FLAIR magnetic resonance.
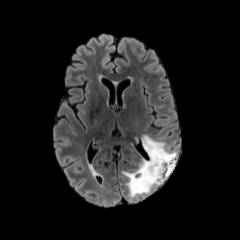
T1-weighted MRI.
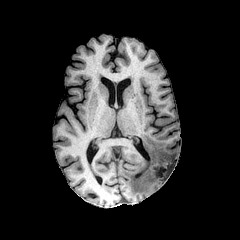
Post-contrast T1-weighted magnetic resonance.
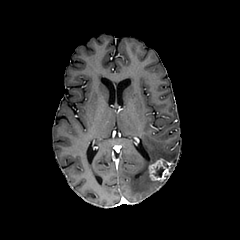
T2-weighted magnetic resonance.
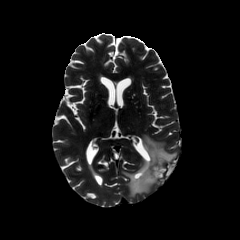
240x240 px | Axial plane
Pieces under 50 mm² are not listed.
<segmentation>
  <enhancing_tumor>(148,158,173,181)</enhancing_tumor>
  <necrotic_tumor_core>(154,167,164,177)</necrotic_tumor_core>
  <peritumoral_edema>(123,135,176,197)</peritumoral_edema>
</segmentation>